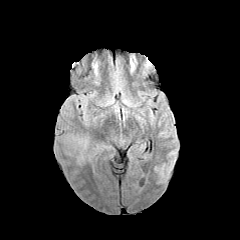
FLAIR MR image.
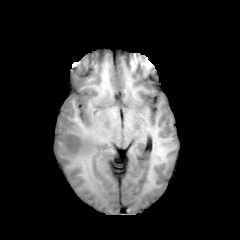
Same slice, T1-weighted MR.
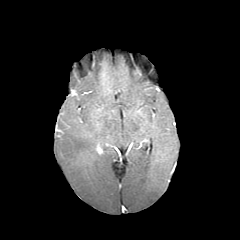
Same slice, post-contrast T1-weighted MR image.
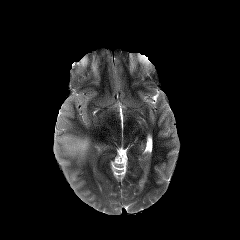
T2-weighted MRI of the same slice.
Axial view. Head.
Annotated regions:
* peritumoral edema: rect(67, 136, 88, 161)